FLAIR MRI.
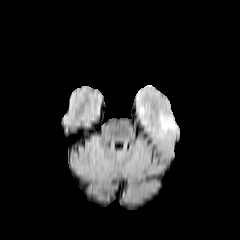
T1-weighted MRI.
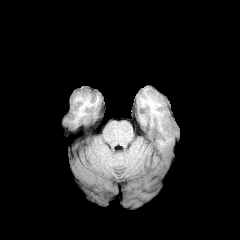
Post-contrast T1-weighted MR.
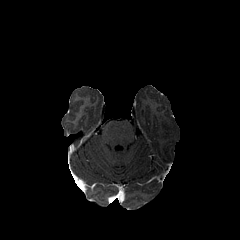
T2-weighted magnetic resonance.
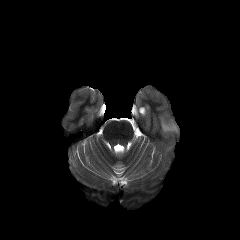
Head; 240x240
peritumoral edema: (x1=159, y1=115, x2=176, y2=134)